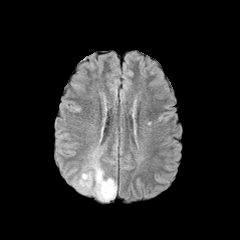
FLAIR MRI.
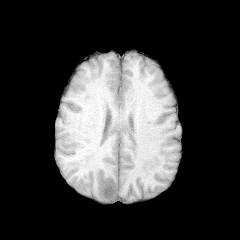
T1-weighted MR image of the same slice.
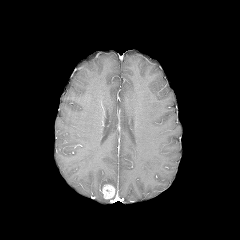
Post-contrast T1-weighted MR.
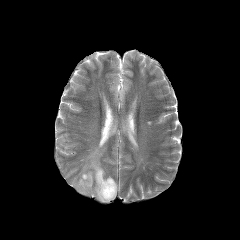
T2-weighted magnetic resonance.
Axial view
Findings:
• peritumoral edema: (72,148,117,202)
• enhancing tumor: (100,184,115,199)